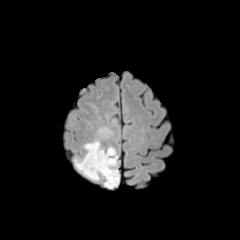
FLAIR magnetic resonance.
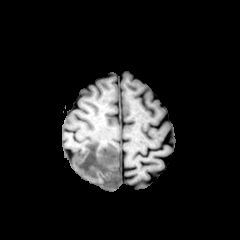
T1-weighted MR image.
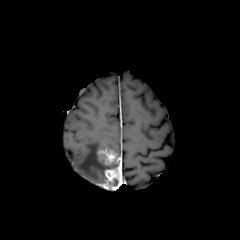
Post-contrast T1-weighted magnetic resonance of the same slice.
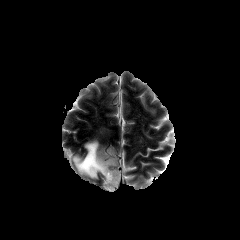
Same slice, T2-weighted magnetic resonance.
Axial slice
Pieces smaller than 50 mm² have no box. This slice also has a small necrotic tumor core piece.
enhancing tumor at bbox(98, 150, 120, 189)
peritumoral edema at bbox(74, 141, 106, 179)